Slice 108/155.
FLAIR MRI.
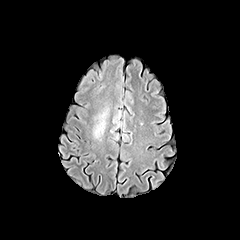
T1-weighted MRI.
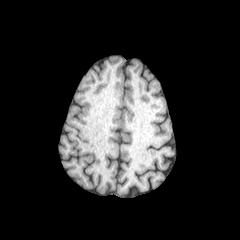
Post-contrast T1-weighted MR image.
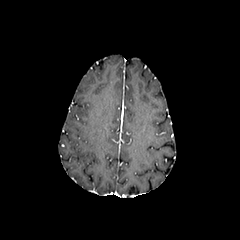
T2-weighted magnetic resonance.
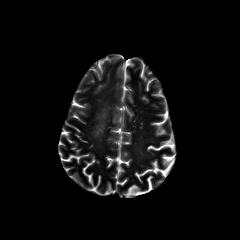
<segmentation>
  <peritumoral_edema>box(94, 112, 106, 137)</peritumoral_edema>
</segmentation>